Axial plane | 240x240 px
FLAIR MRI.
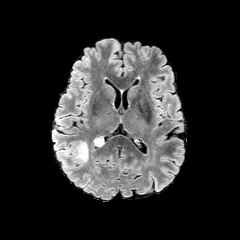
T1-weighted magnetic resonance.
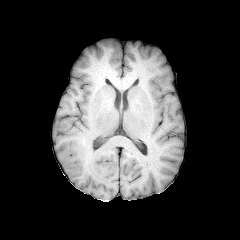
Post-contrast T1-weighted MRI.
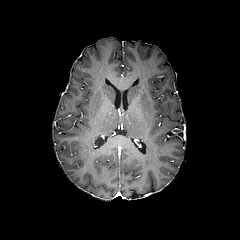
T2-weighted MRI.
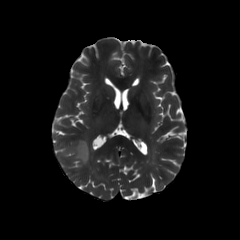
Segmented structures:
- peritumoral edema: [65, 141, 88, 163]